Slice 101/155, Head
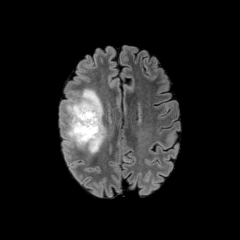
FLAIR MR.
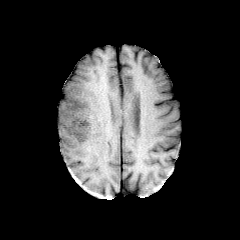
T1-weighted MRI.
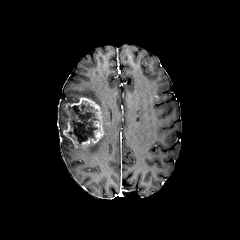
Post-contrast T1-weighted MRI.
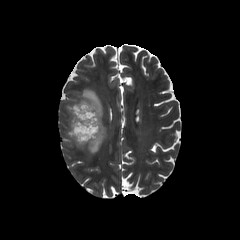
Same slice, T2-weighted MRI.
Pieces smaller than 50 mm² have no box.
<segmentation>
  <necrotic_tumor_core>[68,104,97,143]</necrotic_tumor_core>
  <peritumoral_edema>[62,134,72,152], [61,89,103,115], [80,125,106,154]</peritumoral_edema>
  <enhancing_tumor>[62,97,104,148]</enhancing_tumor>
</segmentation>